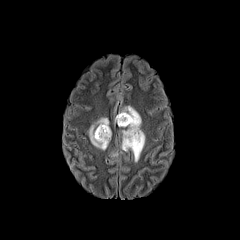
FLAIR MR image.
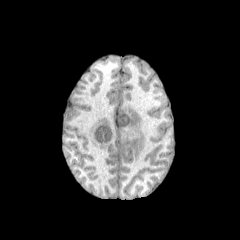
T1-weighted magnetic resonance.
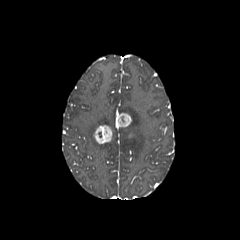
Same slice, post-contrast T1-weighted MRI.
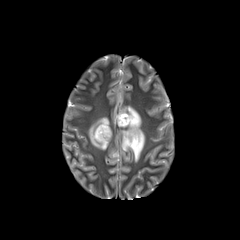
T2-weighted MR image.
Axial view, Brain
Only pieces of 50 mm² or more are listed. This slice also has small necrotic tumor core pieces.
The 2 largest enhancing tumor regions are located at [116, 113, 131, 126], [94, 125, 112, 143]. The 2 largest peritumoral edema regions are located at [121, 106, 145, 162], [88, 117, 109, 150].